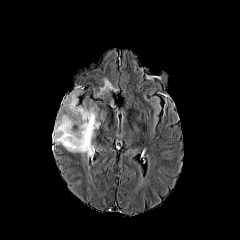
FLAIR magnetic resonance.
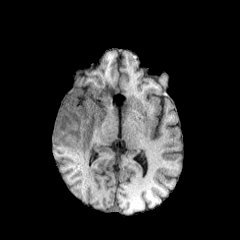
T1-weighted MR.
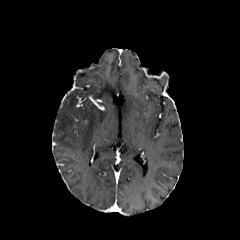
Post-contrast T1-weighted MR image of the same slice.
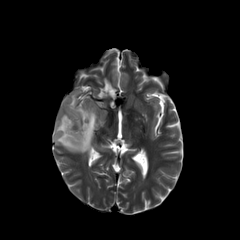
T2-weighted MR.
Head.
peritumoral edema: 53 89 99 156, 96 77 118 97